Image width 240 mm | Axial view
FLAIR MR image.
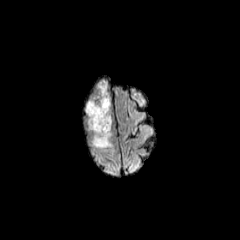
T1-weighted MRI.
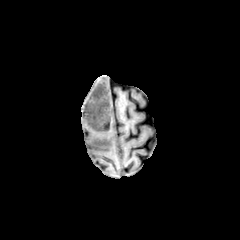
Post-contrast T1-weighted MRI.
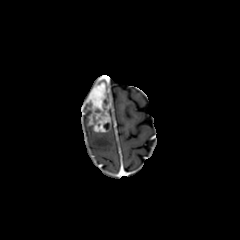
T2-weighted magnetic resonance.
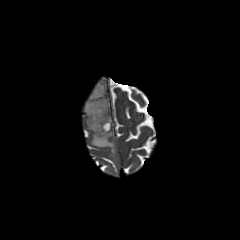
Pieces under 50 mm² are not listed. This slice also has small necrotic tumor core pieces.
Findings:
- enhancing tumor: <bbox>87, 83, 111, 132</bbox>
- peritumoral edema: <bbox>97, 80, 110, 101</bbox>, <bbox>85, 102, 113, 151</bbox>